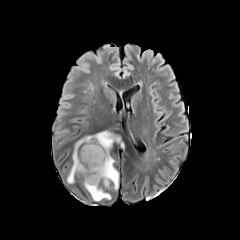
FLAIR MRI.
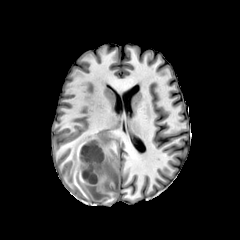
T1-weighted MR.
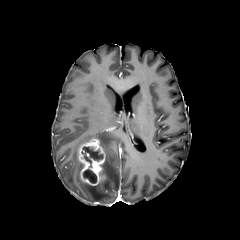
Post-contrast T1-weighted magnetic resonance.
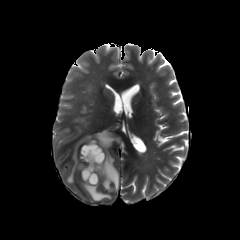
T2-weighted MR image of the same slice.
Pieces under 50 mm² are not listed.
peritumoral edema at (67, 131, 124, 189), (84, 182, 111, 200)
enhancing tumor at (78, 139, 105, 185)
necrotic tumor core at (82, 147, 103, 164), (83, 169, 96, 183)